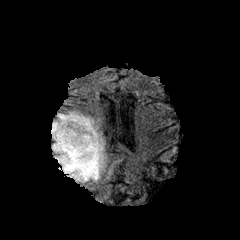
FLAIR MR.
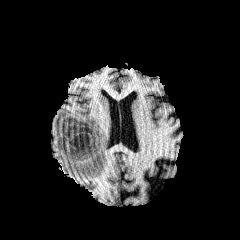
Same slice, T1-weighted MR.
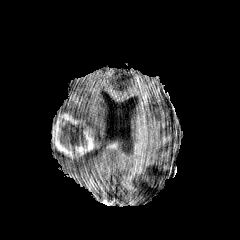
Same slice, post-contrast T1-weighted magnetic resonance.
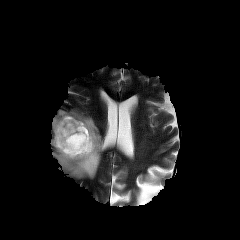
T2-weighted MR of the same slice.
Axial view
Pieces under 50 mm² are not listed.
peritumoral edema = box=[52, 110, 102, 179]
enhancing tumor = box=[52, 113, 96, 159]
necrotic tumor core = box=[60, 122, 87, 150]